FLAIR MRI.
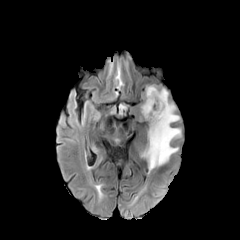
T1-weighted MRI.
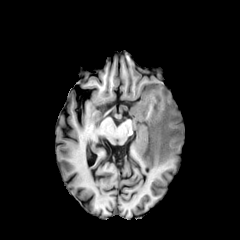
Post-contrast T1-weighted MR.
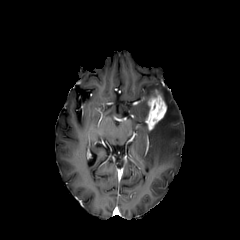
T2-weighted MR.
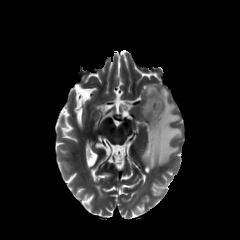
Axial slice
{"enhancing_tumor": ["(145, 91, 166, 130)"], "peritumoral_edema": ["(141, 85, 181, 170)"]}